Head.
FLAIR magnetic resonance.
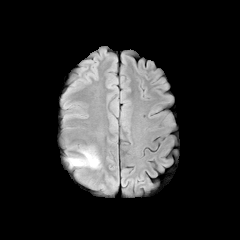
T1-weighted MRI.
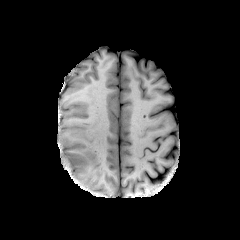
Post-contrast T1-weighted magnetic resonance.
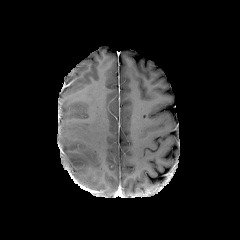
T2-weighted MR.
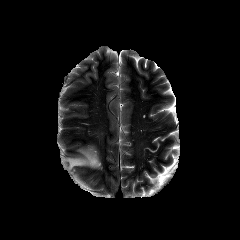
The peritumoral edema appears at {"x1": 66, "y1": 147, "x2": 100, "y2": 168}.